FLAIR magnetic resonance.
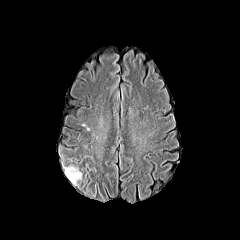
T1-weighted magnetic resonance.
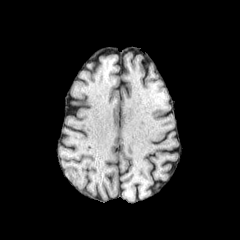
Post-contrast T1-weighted MR.
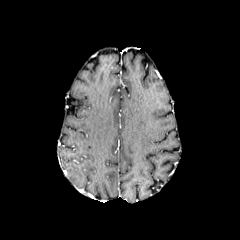
T2-weighted MR.
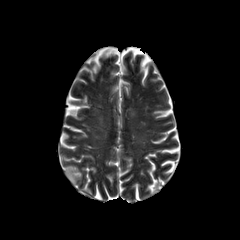
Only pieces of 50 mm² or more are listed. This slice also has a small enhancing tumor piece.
peritumoral edema: bounding box [x1=63, y1=165, x2=82, y2=184]